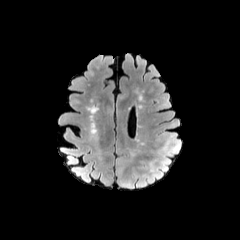
FLAIR MR image.
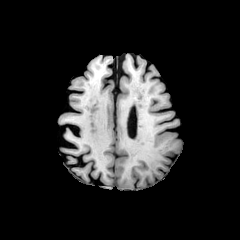
T1-weighted MRI.
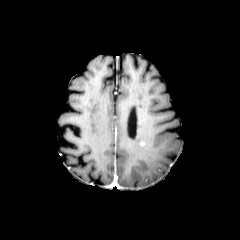
Post-contrast T1-weighted MRI.
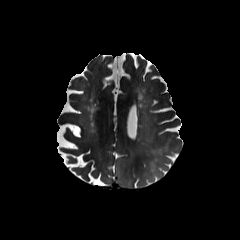
T2-weighted MR.
Image size 240x240; Head
• peritumoral edema: bbox(118, 179, 147, 190)